Image width 240 mm, Slice 54/155
FLAIR MR image.
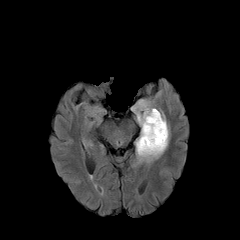
T1-weighted MR image.
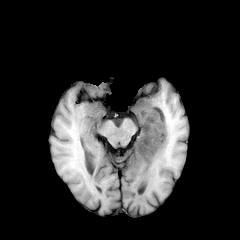
Post-contrast T1-weighted MRI.
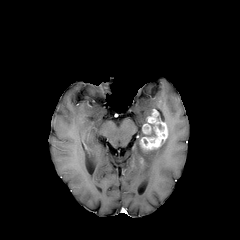
T2-weighted MR.
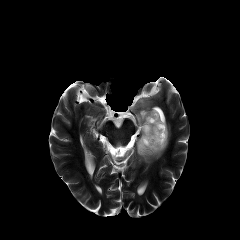
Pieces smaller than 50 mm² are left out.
- necrotic tumor core: [x1=147, y1=124, x2=154, y2=136]
- enhancing tumor: [x1=139, y1=109, x2=167, y2=151]
- peritumoral edema: [x1=133, y1=100, x2=152, y2=127], [x1=135, y1=124, x2=169, y2=162]